FLAIR MR image.
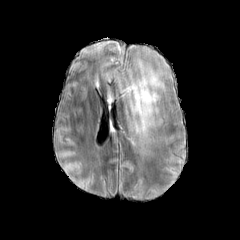
T1-weighted magnetic resonance.
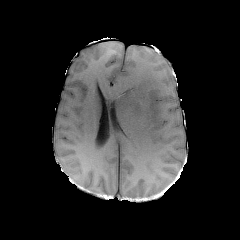
Post-contrast T1-weighted MRI.
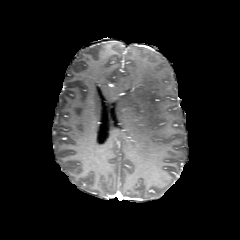
T2-weighted magnetic resonance.
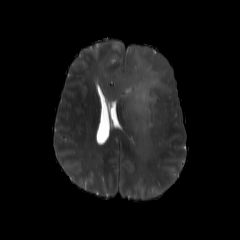
peritumoral edema: [x1=116, y1=61, x2=171, y2=139]